Axial view | Head
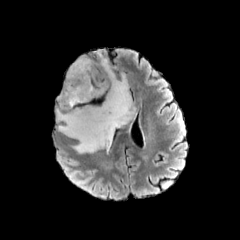
FLAIR MR image.
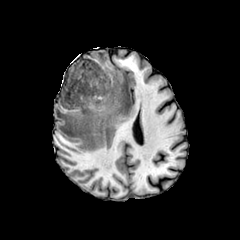
T1-weighted MR.
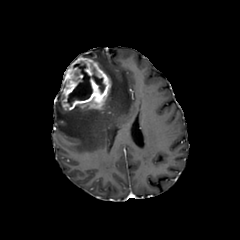
Post-contrast T1-weighted MRI of the same slice.
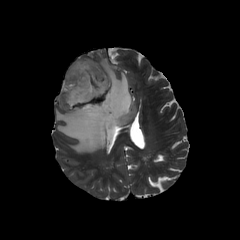
Same slice, T2-weighted magnetic resonance.
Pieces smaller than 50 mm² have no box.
The enhancing tumor is located at l=60, t=56, r=111, b=110. The largest peritumoral edema region is located at l=56, t=52, r=135, b=152. The 2 largest necrotic tumor core regions appear at l=92, t=74, r=104, b=92; l=67, t=62, r=92, b=106.